Axial slice; Image size 240x240; Brain
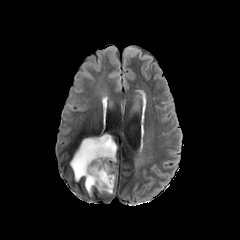
FLAIR magnetic resonance.
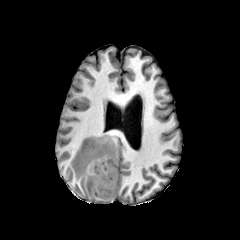
Same slice, T1-weighted MR image.
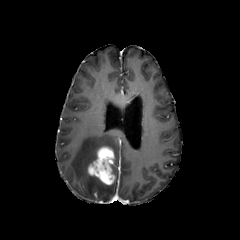
Post-contrast T1-weighted MR.
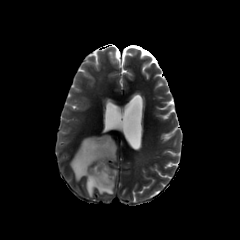
Same slice, T2-weighted MRI.
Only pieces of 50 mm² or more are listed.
enhancing tumor: 88:146:115:184 | peritumoral edema: 70:134:117:195